FLAIR MR.
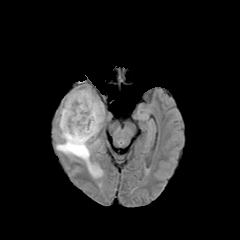
T1-weighted MR.
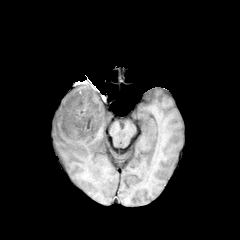
Post-contrast T1-weighted MR.
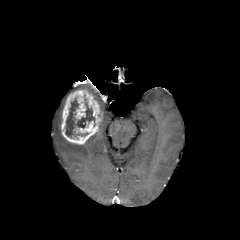
T2-weighted MR image.
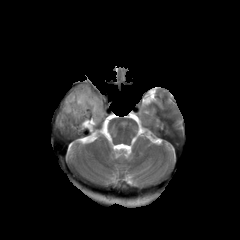
Brain.
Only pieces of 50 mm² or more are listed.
<segmentation>
  <enhancing_tumor>[61, 89, 102, 144]</enhancing_tumor>
  <necrotic_tumor_core>[65, 99, 94, 137]</necrotic_tumor_core>
  <peritumoral_edema>[94, 96, 104, 120], [57, 132, 102, 177]</peritumoral_edema>
</segmentation>